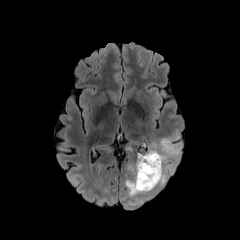
FLAIR MR image.
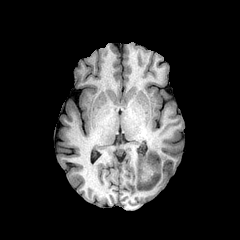
T1-weighted MRI.
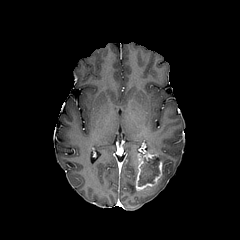
Post-contrast T1-weighted magnetic resonance of the same slice.
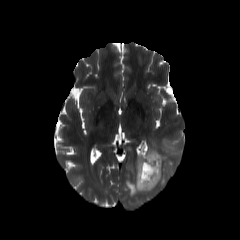
T2-weighted magnetic resonance of the same slice.
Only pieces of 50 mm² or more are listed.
<segmentation>
  <necrotic_tumor_core>[138,156,159,186]</necrotic_tumor_core>
  <enhancing_tumor>[135,152,162,190]</enhancing_tumor>
  <peritumoral_edema>[125,131,181,196]</peritumoral_edema>
</segmentation>